FLAIR MRI.
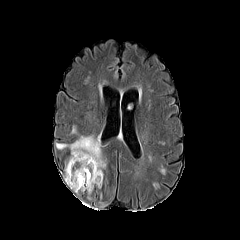
T1-weighted magnetic resonance.
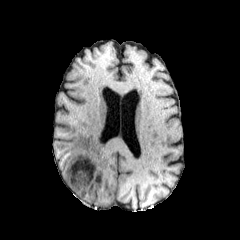
Post-contrast T1-weighted magnetic resonance.
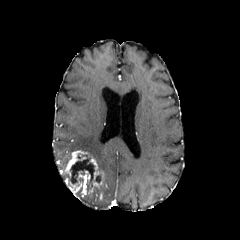
T2-weighted magnetic resonance.
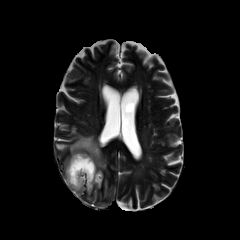
Axial slice
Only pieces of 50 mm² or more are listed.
peritumoral edema — bbox(71, 125, 78, 134); bbox(56, 135, 106, 171)
enhancing tumor — bbox(61, 150, 104, 193); bbox(65, 170, 90, 191)
necrotic tumor core — bbox(66, 155, 94, 187)